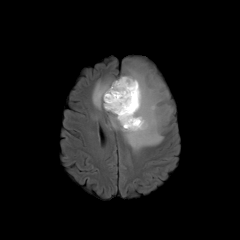
FLAIR MR.
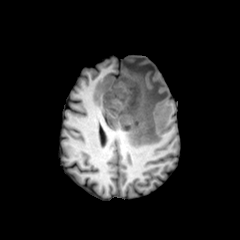
Same slice, T1-weighted MRI.
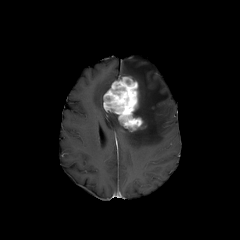
Post-contrast T1-weighted MR image.
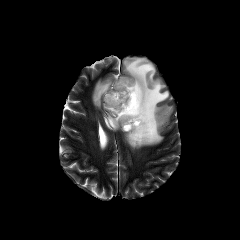
Same slice, T2-weighted MR image.
240x240
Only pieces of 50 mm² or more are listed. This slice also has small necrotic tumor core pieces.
The enhancing tumor is bounded by left=103, top=76, right=144, bottom=131. The 2 largest peritumoral edema regions appear at left=92, top=78, right=114, bottom=109; left=106, top=59, right=172, bottom=151.